Slice index 41 | Axial plane
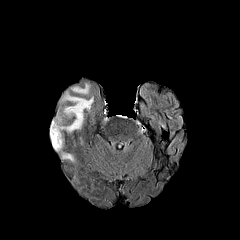
FLAIR MR image.
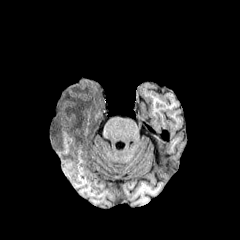
T1-weighted magnetic resonance.
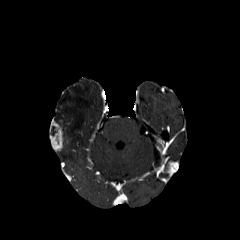
Post-contrast T1-weighted MR image.
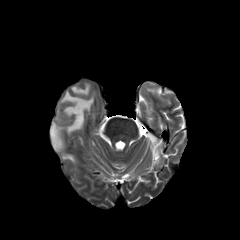
T2-weighted MR.
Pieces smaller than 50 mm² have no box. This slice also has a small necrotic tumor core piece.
enhancing tumor: (x1=50, y1=119, x2=63, y2=151) | peritumoral edema: (x1=60, y1=151, x2=74, y2=161), (x1=71, y1=83, x2=89, y2=94), (x1=60, y1=91, x2=93, y2=132)